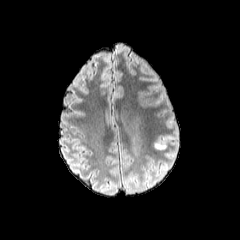
FLAIR magnetic resonance.
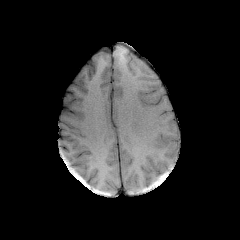
T1-weighted MRI.
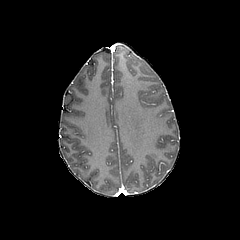
Post-contrast T1-weighted MRI.
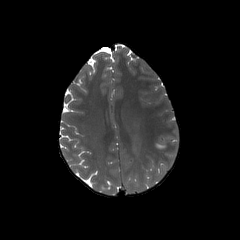
Same slice, T2-weighted magnetic resonance.
Axial view
{"peritumoral_edema": ["(x1=154, y1=142, x2=166, y2=149)"]}